FLAIR MR.
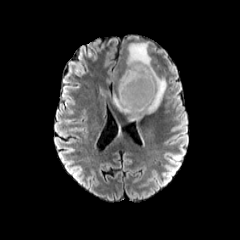
T1-weighted MRI.
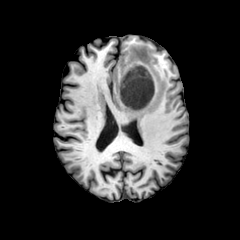
Post-contrast T1-weighted magnetic resonance.
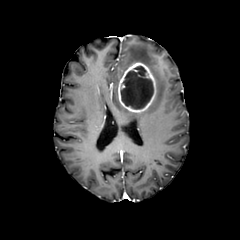
T2-weighted MR image.
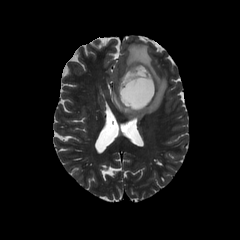
peritumoral edema: 113 43 166 120
necrotic tumor core: 121 66 153 109
enhancing tumor: 118 61 156 113